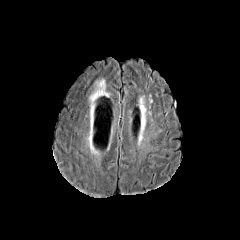
FLAIR MRI.
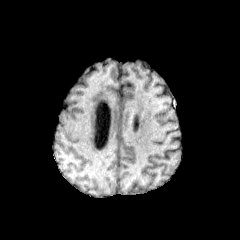
T1-weighted MR image.
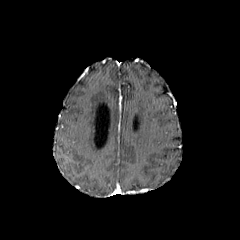
Post-contrast T1-weighted MR image.
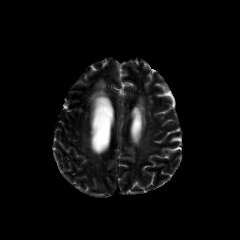
T2-weighted MR image.
peritumoral_edema:
  - (x1=90, y1=79, x2=107, y2=101)